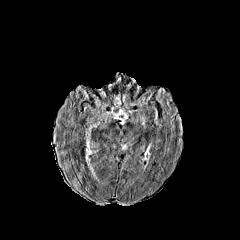
FLAIR MR image.
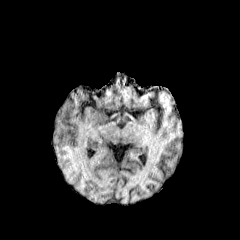
T1-weighted MRI.
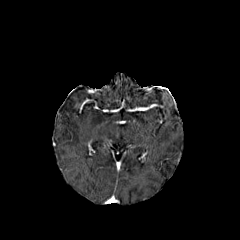
Same slice, post-contrast T1-weighted magnetic resonance.
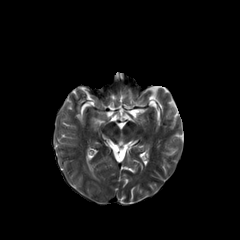
T2-weighted MRI of the same slice.
Axial view; Head
The peritumoral edema is bounded by [86,155,94,176].